Head.
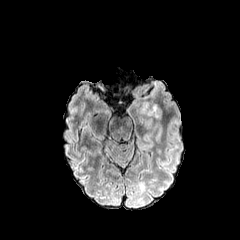
FLAIR MR.
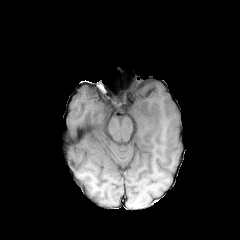
Same slice, T1-weighted MRI.
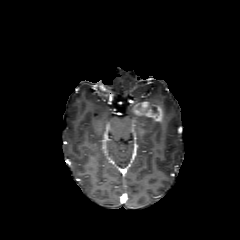
Same slice, post-contrast T1-weighted magnetic resonance.
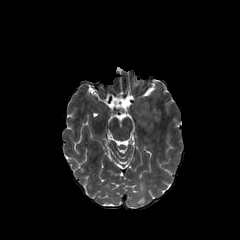
T2-weighted MRI.
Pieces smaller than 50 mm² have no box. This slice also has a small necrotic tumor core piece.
Annotated regions:
- enhancing tumor: bbox=[133, 101, 162, 121]